FLAIR magnetic resonance.
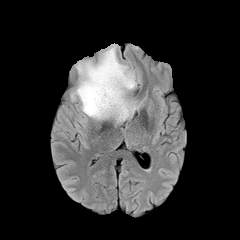
T1-weighted MR image.
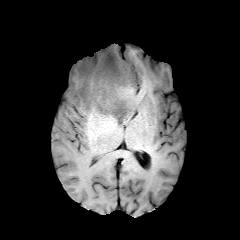
Post-contrast T1-weighted magnetic resonance.
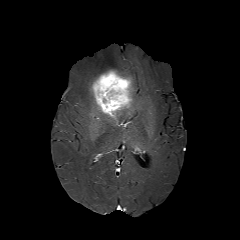
T2-weighted MRI.
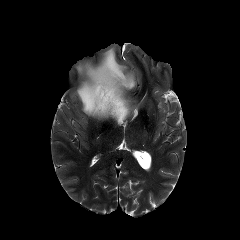
Brain.
<segmentation>
  <enhancing_tumor>region(92, 70, 132, 119)</enhancing_tumor>
  <peritumoral_edema>region(71, 44, 136, 119); region(115, 99, 139, 123)</peritumoral_edema>
</segmentation>